240x240 px; Slice 95/155; Axial view
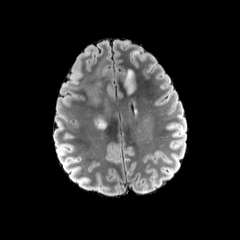
FLAIR MR image.
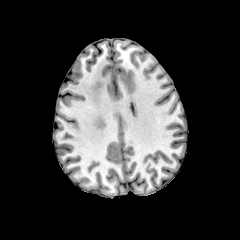
T1-weighted MR image of the same slice.
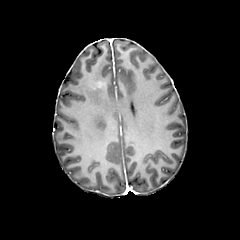
Same slice, post-contrast T1-weighted MR.
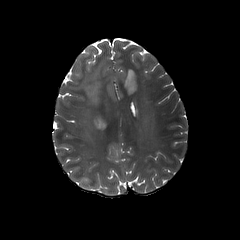
T2-weighted magnetic resonance of the same slice.
peritumoral edema at 124,69,137,95; 76,58,115,130; 117,89,123,99
enhancing tumor at 91,80,103,90